Slice index 60
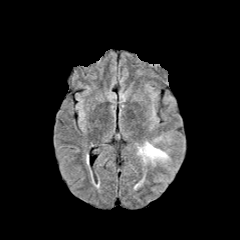
FLAIR MRI.
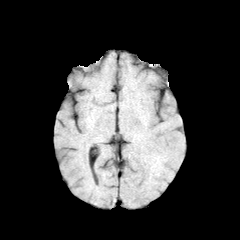
T1-weighted MR of the same slice.
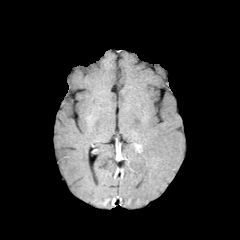
Same slice, post-contrast T1-weighted magnetic resonance.
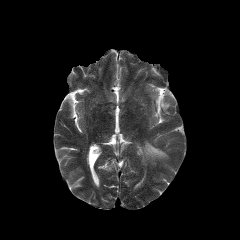
T2-weighted magnetic resonance.
peritumoral edema: box=[137, 142, 168, 161]